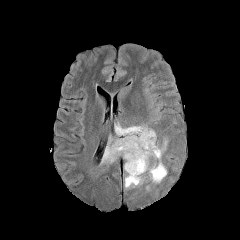
FLAIR MR.
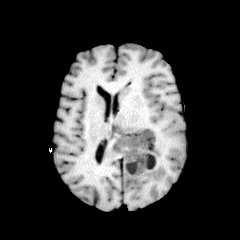
T1-weighted MR image.
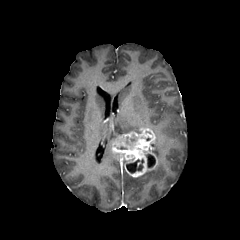
Post-contrast T1-weighted MRI.
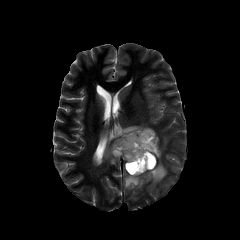
T2-weighted MR of the same slice.
Image size 240x240, Head, Axial slice
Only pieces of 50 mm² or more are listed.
The 5 largest peritumoral edema regions are located at box=[102, 144, 119, 162]; box=[115, 123, 147, 135]; box=[147, 161, 166, 182]; box=[151, 140, 164, 159]; box=[125, 174, 143, 188]. The largest enhancing tumor region is at box=[112, 128, 157, 177]. The 2 largest necrotic tumor core regions appear at box=[146, 154, 155, 168]; box=[126, 159, 144, 173].